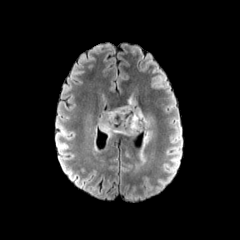
FLAIR MRI.
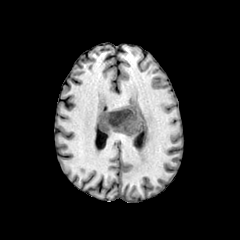
T1-weighted MRI.
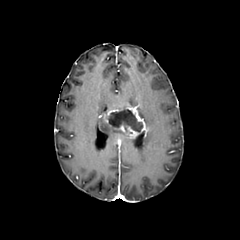
Post-contrast T1-weighted magnetic resonance.
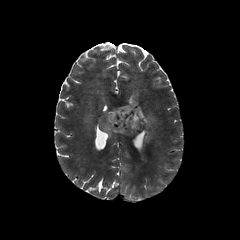
T2-weighted MR of the same slice.
Axial view | Brain
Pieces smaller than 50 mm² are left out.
The 2 largest peritumoral edema regions are bounded by box(99, 117, 124, 137); box(127, 97, 153, 142). The enhancing tumor is bounded by box(104, 105, 147, 137). The largest necrotic tumor core region appears at box(108, 109, 142, 132).